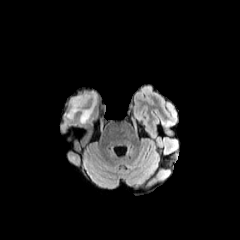
FLAIR magnetic resonance.
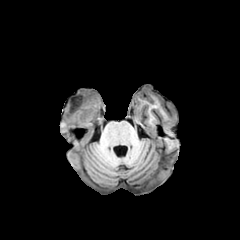
Same slice, T1-weighted MRI.
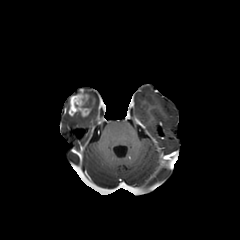
Post-contrast T1-weighted MR.
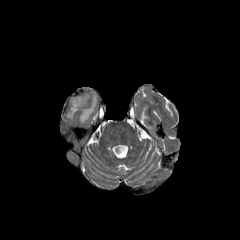
Same slice, T2-weighted MRI.
Head.
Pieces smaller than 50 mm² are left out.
enhancing tumor: bounding box 68:92:94:117
peritumoral edema: bounding box 80:92:96:123